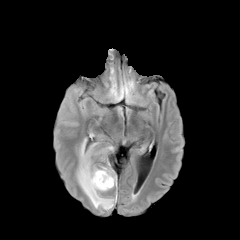
FLAIR MR.
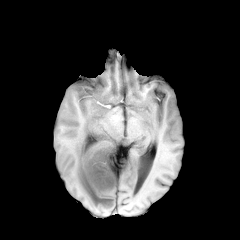
T1-weighted MR of the same slice.
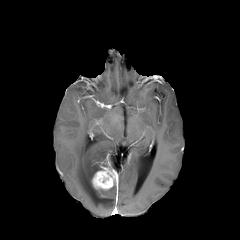
Post-contrast T1-weighted magnetic resonance.
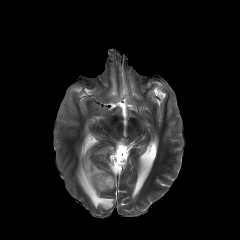
Same slice, T2-weighted MR.
Axial plane | Brain
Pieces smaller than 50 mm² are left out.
<segmentation>
  <peritumoral_edema><bbox>76, 138, 115, 209</bbox></peritumoral_edema>
  <enhancing_tumor><bbox>92, 165, 117, 189</bbox></enhancing_tumor>
</segmentation>